FLAIR MR image.
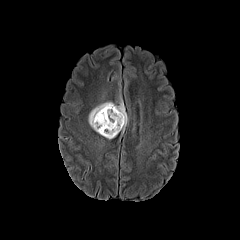
T1-weighted MR.
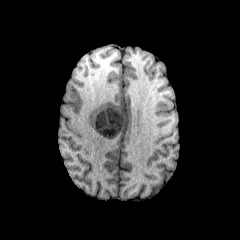
Post-contrast T1-weighted MR image.
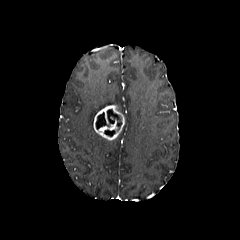
T2-weighted MR.
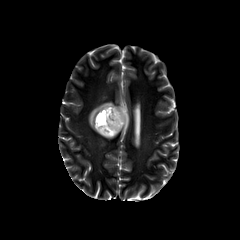
Axial plane
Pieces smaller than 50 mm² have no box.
peritumoral_edema:
  - bbox=[88, 101, 115, 127]
  - bbox=[117, 96, 128, 133]
enhancing_tumor:
  - bbox=[93, 105, 124, 140]
necrotic_tumor_core:
  - bbox=[96, 109, 121, 129]
  - bbox=[104, 130, 115, 136]